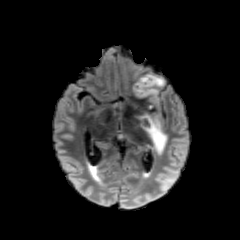
FLAIR magnetic resonance.
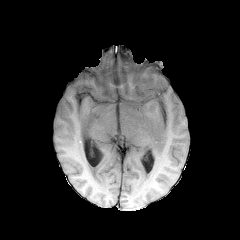
T1-weighted magnetic resonance.
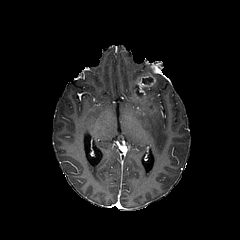
Post-contrast T1-weighted magnetic resonance of the same slice.
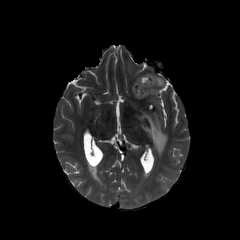
T2-weighted MRI.
Axial slice
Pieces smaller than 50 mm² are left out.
enhancing tumor — [134,73,156,98]
necrotic tumor core — [142,77,153,84]
peritumoral edema — [141,114,167,153], [154,75,163,85], [146,86,157,96]